Axial view. Brain.
FLAIR MR image.
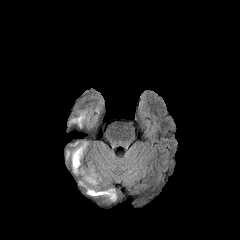
T1-weighted MR.
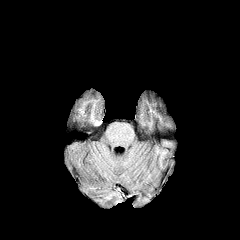
Post-contrast T1-weighted MR image.
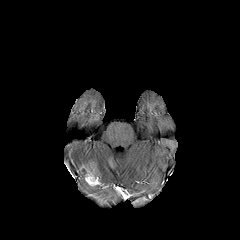
T2-weighted MR.
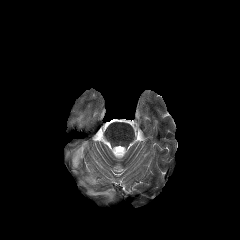
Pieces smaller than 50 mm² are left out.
peritumoral edema: bounding box (73,113,84,126), (72,142,86,172), (80,181,115,199)
enhancing tumor: bounding box (80,164,99,186)